Slice 72 of 155; Head; 240x240 px
FLAIR MR.
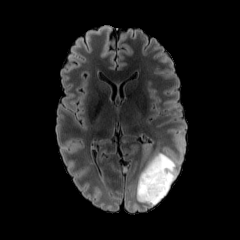
T1-weighted magnetic resonance.
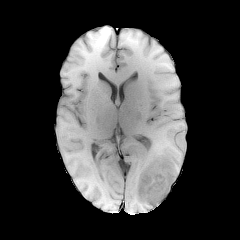
Post-contrast T1-weighted magnetic resonance.
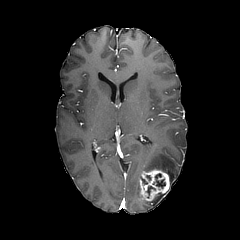
T2-weighted magnetic resonance.
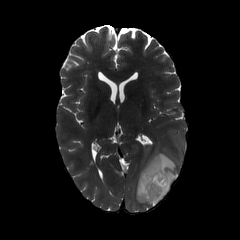
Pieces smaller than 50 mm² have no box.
peritumoral edema — (x1=136, y1=143, x2=179, y2=206)
necrotic tumor core — (x1=155, y1=173, x2=165, y2=188)
enhancing tumor — (x1=139, y1=169, x2=169, y2=201)